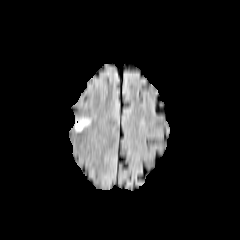
FLAIR magnetic resonance.
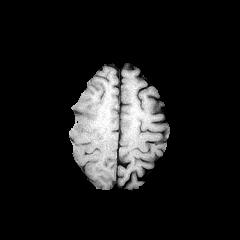
T1-weighted MR image.
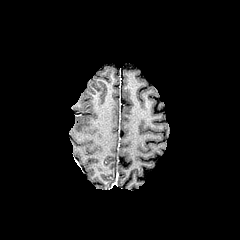
Post-contrast T1-weighted MR.
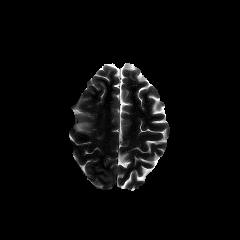
T2-weighted MR.
The peritumoral edema appears at rect(75, 119, 89, 130).